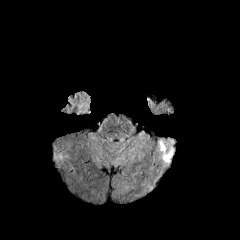
FLAIR MR image.
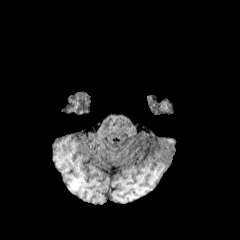
T1-weighted MR image.
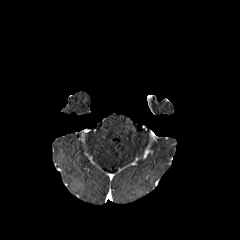
Post-contrast T1-weighted MR image.
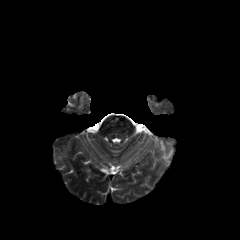
Same slice, T2-weighted magnetic resonance.
Axial view. Brain.
peritumoral edema: box(160, 141, 173, 162)